FLAIR magnetic resonance.
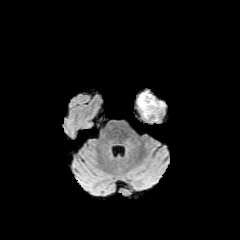
T1-weighted MR.
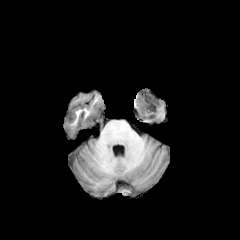
Post-contrast T1-weighted MRI.
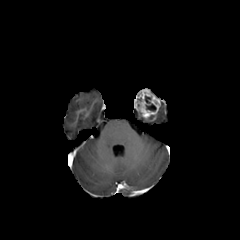
T2-weighted MR.
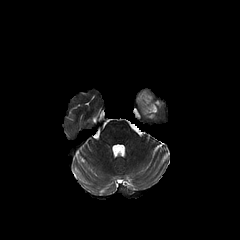
Brain. Axial slice.
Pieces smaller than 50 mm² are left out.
enhancing tumor at (left=135, top=89, right=161, bottom=120)
necrotic tumor core at (left=146, top=104, right=156, bottom=111)